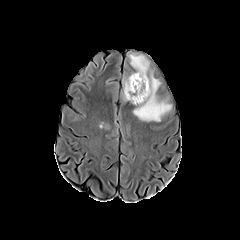
FLAIR MR image.
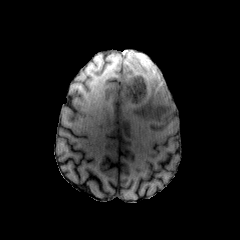
T1-weighted magnetic resonance.
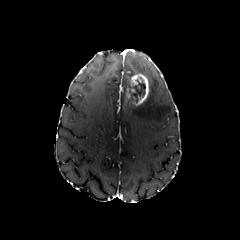
Same slice, post-contrast T1-weighted MRI.
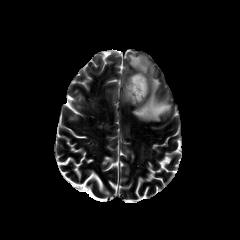
Same slice, T2-weighted MRI.
Head | 240x240 px
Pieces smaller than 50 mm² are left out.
necrotic_tumor_core:
  - [128, 79, 145, 102]
peritumoral_edema:
  - [132, 57, 145, 76]
  - [124, 77, 130, 96]
  - [133, 78, 171, 121]
enhancing_tumor:
  - [125, 87, 135, 100]
  - [130, 74, 148, 105]